Brain. Slice 88/155. Axial plane.
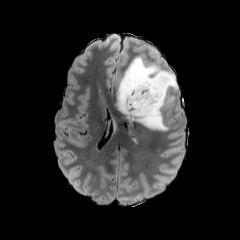
FLAIR MRI.
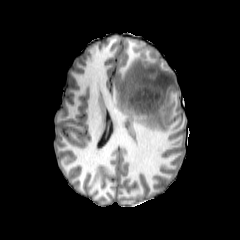
T1-weighted MR image.
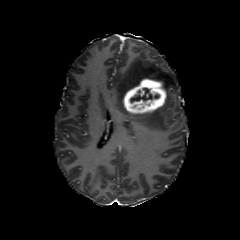
Same slice, post-contrast T1-weighted MR.
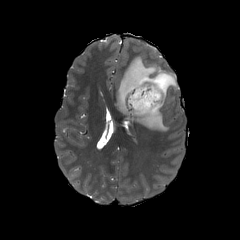
Same slice, T2-weighted MR.
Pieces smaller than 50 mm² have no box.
enhancing tumor at <box>123,77,166,113</box>
peritumoral edema at <box>114,56,177,131</box>
necrotic tumor core at <box>130,88,152,102</box>